FLAIR magnetic resonance.
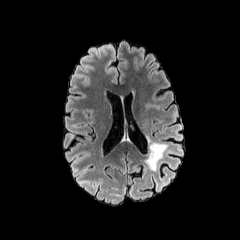
T1-weighted magnetic resonance.
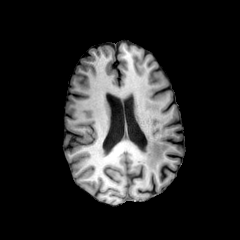
Post-contrast T1-weighted magnetic resonance.
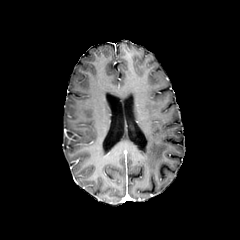
T2-weighted MR image.
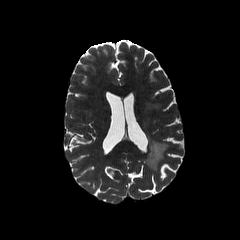
Head.
peritumoral edema — (146, 137, 167, 169)